FLAIR magnetic resonance.
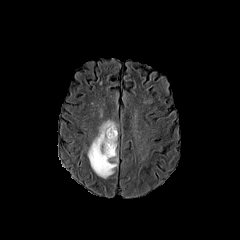
T1-weighted magnetic resonance.
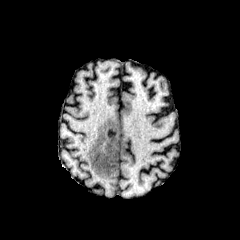
Post-contrast T1-weighted MR image.
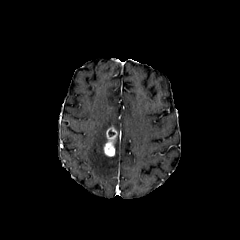
T2-weighted MR.
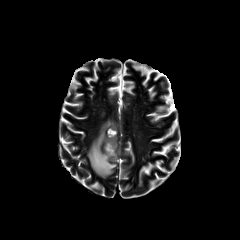
Head; Axial plane
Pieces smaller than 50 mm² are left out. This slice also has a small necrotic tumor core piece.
<segmentation>
  <peritumoral_edema><box>87,119,118,178</box></peritumoral_edema>
  <enhancing_tumor><box>103,126,117,156</box></enhancing_tumor>
</segmentation>